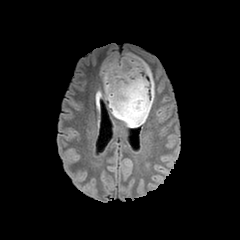
FLAIR MRI.
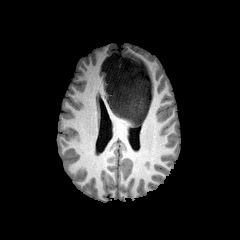
Same slice, T1-weighted MR image.
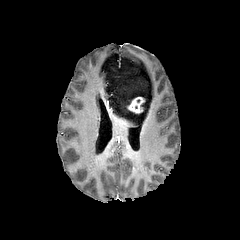
Post-contrast T1-weighted MR.
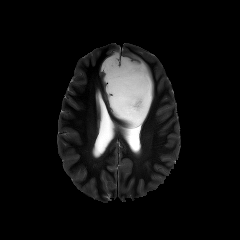
T2-weighted MR image.
240x240 px.
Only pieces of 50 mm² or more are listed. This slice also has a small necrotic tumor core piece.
The peritumoral edema lies within (101, 54, 154, 127). The enhancing tumor lies within (127, 97, 144, 113).